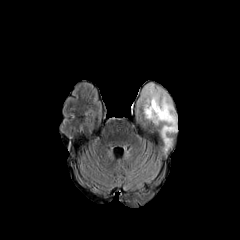
FLAIR magnetic resonance.
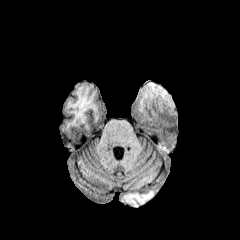
T1-weighted magnetic resonance.
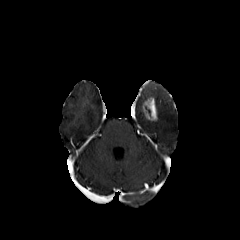
Post-contrast T1-weighted MRI.
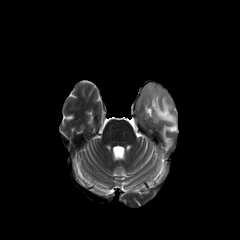
T2-weighted MR image.
240x240
<segmentation>
  <enhancing_tumor>(143, 97, 157, 121)</enhancing_tumor>
  <peritumoral_edema>(139, 84, 177, 150)</peritumoral_edema>
</segmentation>